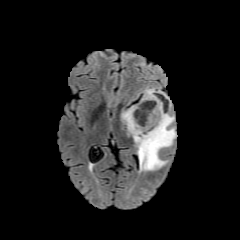
FLAIR MRI.
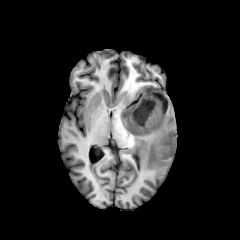
T1-weighted MR image.
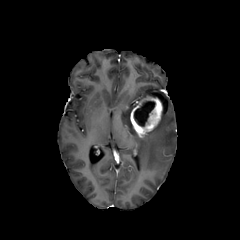
Post-contrast T1-weighted MR image of the same slice.
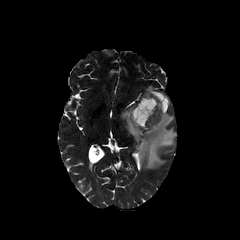
T2-weighted MR image.
Image size 240x240; Axial plane
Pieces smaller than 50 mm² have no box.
The largest peritumoral edema region is bounded by [121, 87, 176, 170]. The enhancing tumor appears at [130, 96, 162, 137]. The necrotic tumor core appears at [134, 101, 155, 126].